Head
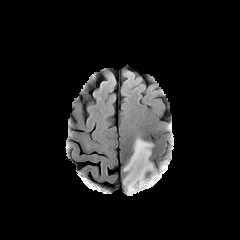
FLAIR MR.
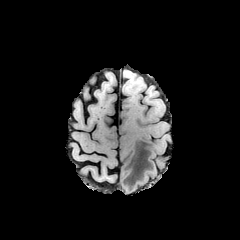
T1-weighted MRI.
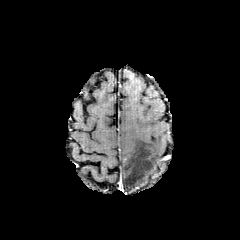
Post-contrast T1-weighted MR of the same slice.
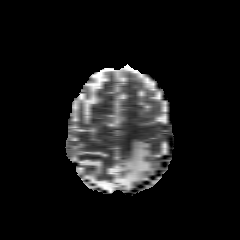
T2-weighted MR.
<segmentation>
  <peritumoral_edema>box(123, 138, 153, 192); box(145, 178, 158, 187)</peritumoral_edema>
</segmentation>